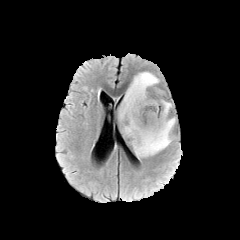
FLAIR magnetic resonance.
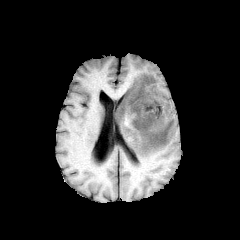
T1-weighted MR image of the same slice.
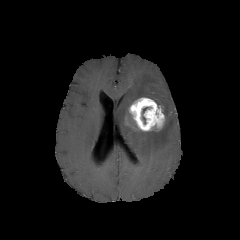
Post-contrast T1-weighted MR image.
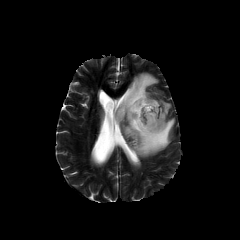
T2-weighted MRI of the same slice.
Axial slice
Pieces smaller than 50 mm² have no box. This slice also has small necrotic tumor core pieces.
peritumoral edema = [117, 72, 175, 158]
enhancing tumor = [128, 97, 165, 131]